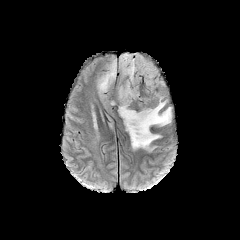
FLAIR magnetic resonance.
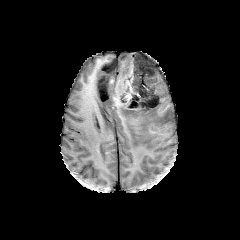
T1-weighted magnetic resonance.
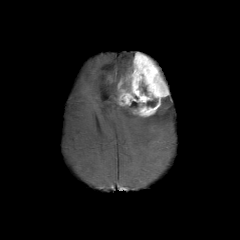
Post-contrast T1-weighted MR.
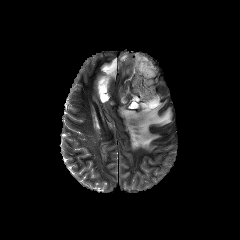
T2-weighted MR.
Brain | 240x240 | Axial view
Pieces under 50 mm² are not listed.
The 2 largest necrotic tumor core regions appear at rect(146, 99, 157, 106); rect(130, 101, 138, 108). The enhancing tumor appears at rect(117, 52, 168, 117). The peritumoral edema is located at rect(97, 52, 171, 150).